FLAIR MR.
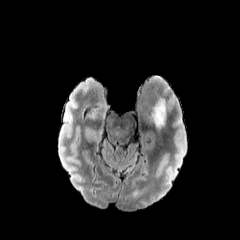
T1-weighted magnetic resonance.
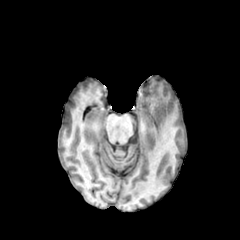
Post-contrast T1-weighted MRI.
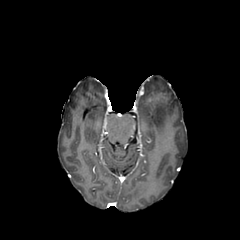
T2-weighted MRI.
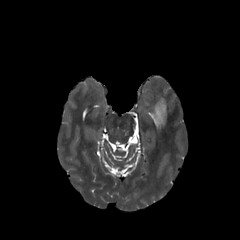
The peritumoral edema is at 152, 98, 166, 128.